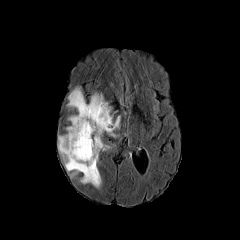
FLAIR MR image.
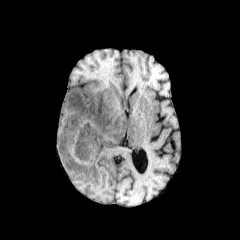
T1-weighted magnetic resonance.
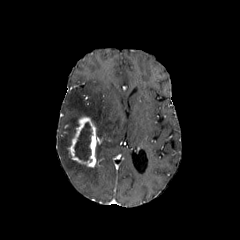
Post-contrast T1-weighted MR.
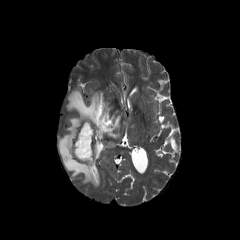
Same slice, T2-weighted MRI.
Image size 240x240 | Axial slice
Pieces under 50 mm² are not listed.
{"necrotic_tumor_core": ["75, 122, 91, 161"], "enhancing_tumor": ["68, 116, 96, 167"], "peritumoral_edema": ["58, 88, 120, 187"]}